Brain; Axial plane
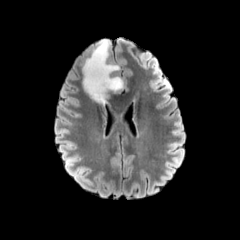
FLAIR MRI.
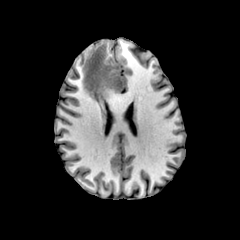
T1-weighted MR image.
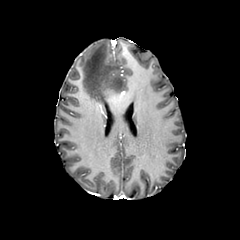
Post-contrast T1-weighted magnetic resonance of the same slice.
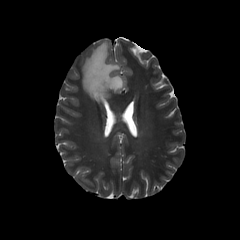
T2-weighted magnetic resonance.
The peritumoral edema is at <bbox>82, 39, 123, 103</bbox>.